FLAIR MR.
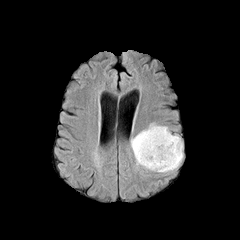
T1-weighted MR image.
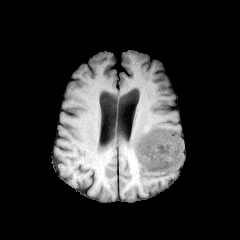
Post-contrast T1-weighted magnetic resonance.
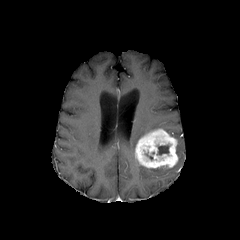
T2-weighted MR.
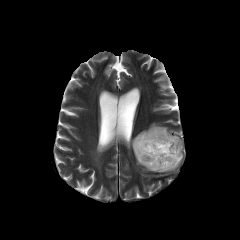
Axial view, 240x240 px, Brain
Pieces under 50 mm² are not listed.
peritumoral edema = <box>130,124,182,172</box>
enhancing tumor = <box>135,128,178,169</box>
necrotic tumor core = <box>157,145,169,154</box>